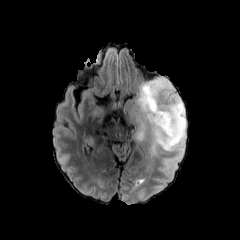
FLAIR MR.
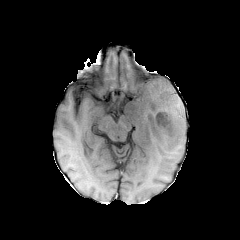
T1-weighted MR.
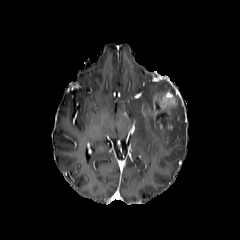
Same slice, post-contrast T1-weighted magnetic resonance.
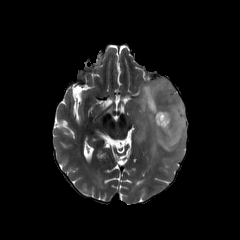
T2-weighted MRI.
Image size 240x240
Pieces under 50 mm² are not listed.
peritumoral edema: box(130, 77, 186, 154) | enhancing tumor: box(152, 90, 178, 129) | necrotic tumor core: box(157, 112, 166, 124)